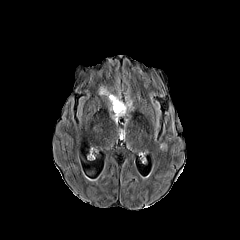
FLAIR MR image.
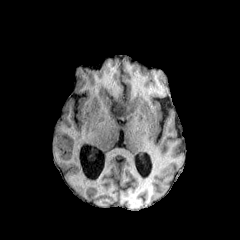
T1-weighted MR.
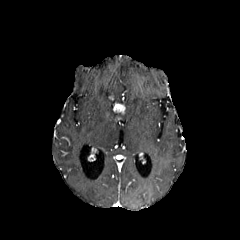
Post-contrast T1-weighted MR image.
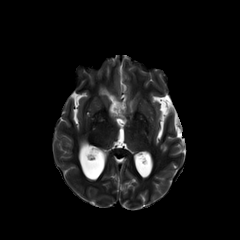
T2-weighted MR image.
Axial view, 240x240, Brain
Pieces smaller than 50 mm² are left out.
peritumoral edema at l=99, t=87, r=130, b=122
enhancing tumor at l=113, t=103, r=125, b=113